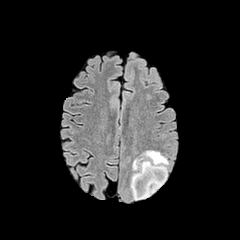
FLAIR MR.
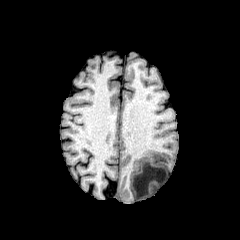
T1-weighted MR image.
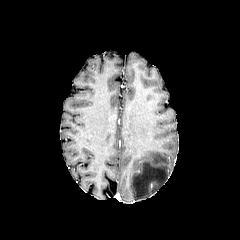
Post-contrast T1-weighted magnetic resonance of the same slice.
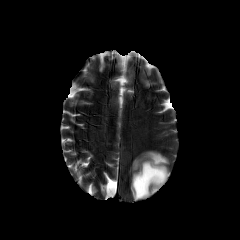
T2-weighted magnetic resonance of the same slice.
Image size 240x240. Axial plane.
peritumoral_edema:
  - (left=131, top=150, right=168, bottom=199)